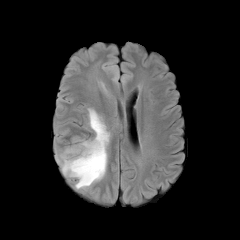
FLAIR MR.
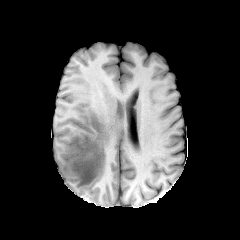
T1-weighted MR.
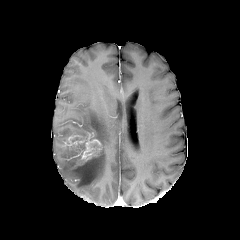
Post-contrast T1-weighted MR of the same slice.
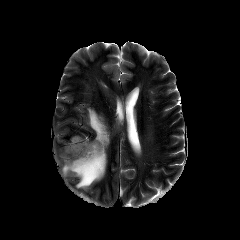
Same slice, T2-weighted MRI.
Head; 240x240
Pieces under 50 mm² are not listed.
<segmentation>
  <peritumoral_edema>region(58, 108, 110, 189)</peritumoral_edema>
  <enhancing_tumor>region(65, 136, 101, 166)</enhancing_tumor>
</segmentation>